FLAIR MR image.
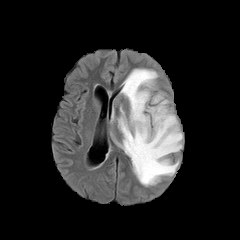
T1-weighted magnetic resonance.
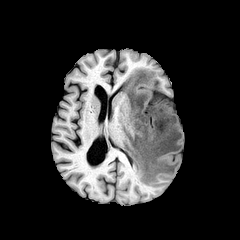
Post-contrast T1-weighted magnetic resonance.
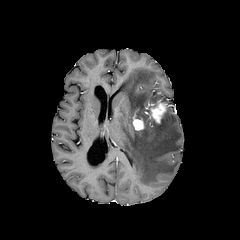
T2-weighted MR image.
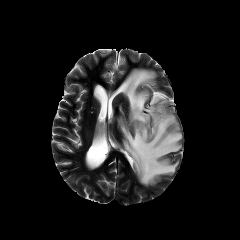
Head | Axial slice
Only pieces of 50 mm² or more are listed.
peritumoral edema — <box>110,69,182,186</box>, <box>151,94,163,101</box>
enhancing tumor — <box>146,99,167,125</box>, <box>133,114,144,130</box>